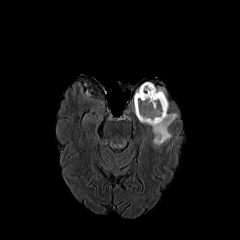
FLAIR MRI.
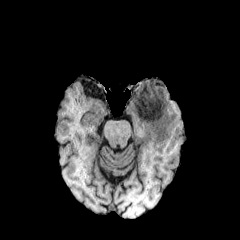
T1-weighted MR image of the same slice.
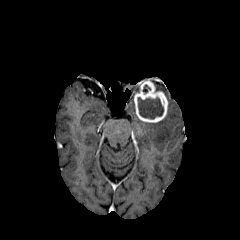
Post-contrast T1-weighted MR.
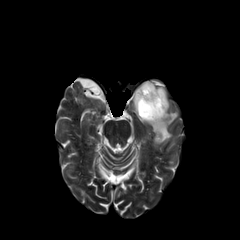
T2-weighted MR.
Head | Axial slice
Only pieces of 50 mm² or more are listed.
enhancing tumor: [134, 81, 168, 122] | necrotic tumor core: [138, 97, 163, 118] | peritumoral edema: [139, 112, 177, 145]